Slice 100/155. Axial slice.
FLAIR magnetic resonance.
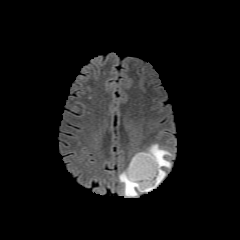
T1-weighted MR image.
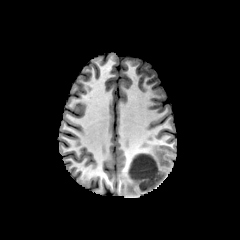
Post-contrast T1-weighted MRI.
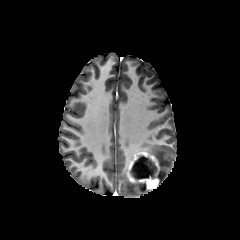
T2-weighted magnetic resonance.
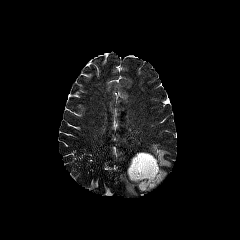
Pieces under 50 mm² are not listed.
Annotated regions:
* peritumoral edema: (119,168,150,196), (142,144,171,183)
* necrotic tumor core: (130,156,157,179)
* enhancing tumor: (127,152,159,189)